FLAIR MR.
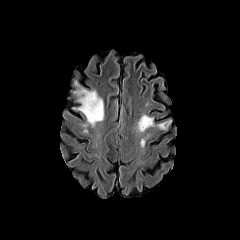
T1-weighted magnetic resonance.
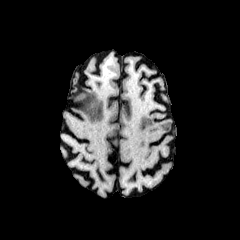
Post-contrast T1-weighted magnetic resonance.
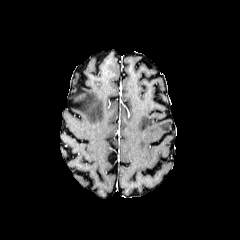
T2-weighted MR image.
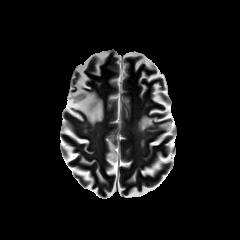
Axial plane | 240x240 | Head
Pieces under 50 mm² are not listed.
• peritumoral edema: rect(157, 118, 172, 130); rect(71, 79, 103, 127); rect(137, 114, 155, 132)